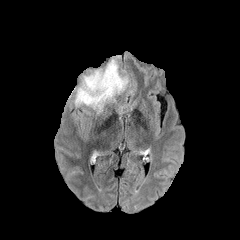
FLAIR MRI.
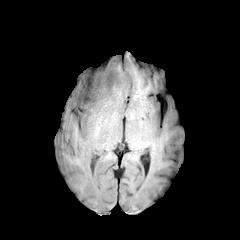
T1-weighted MRI.
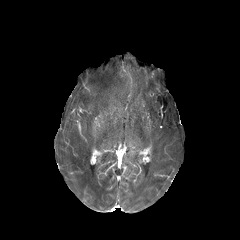
Post-contrast T1-weighted magnetic resonance.
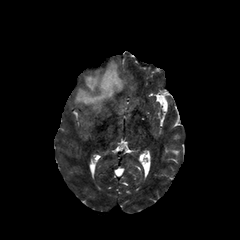
T2-weighted magnetic resonance.
Axial plane; Brain
* peritumoral edema: bbox=[74, 60, 127, 113]